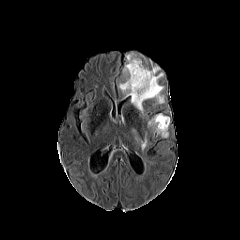
FLAIR MR.
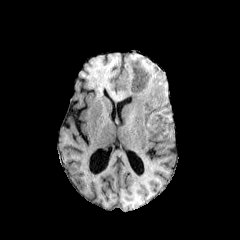
Same slice, T1-weighted MR.
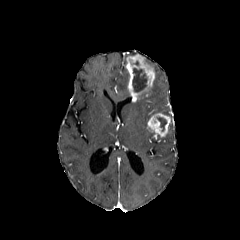
Post-contrast T1-weighted MR image.
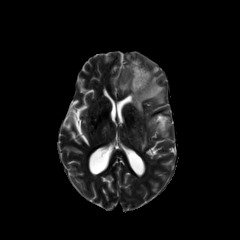
T2-weighted MRI of the same slice.
240x240 px
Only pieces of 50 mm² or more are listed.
The 2 largest enhancing tumor regions are bounded by 147 113 170 137, 126 54 155 101. The 3 largest peritumoral edema regions are located at 141 132 147 149, 119 65 129 94, 133 73 164 114. The 2 largest necrotic tumor core regions are bounded by 157 117 166 131, 132 68 147 92.